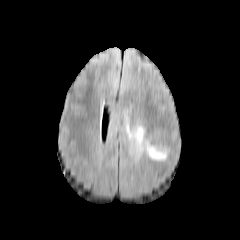
FLAIR MR image.
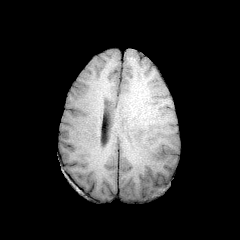
T1-weighted MR image of the same slice.
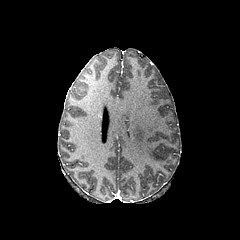
Post-contrast T1-weighted magnetic resonance of the same slice.
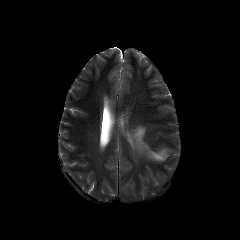
T2-weighted MR image.
Axial slice. Head.
peritumoral edema: <bbox>127, 126, 167, 161</bbox>